Slice 50 of 155; Image size 240x240
FLAIR MRI.
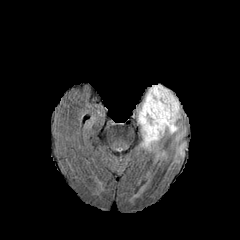
T1-weighted MR image.
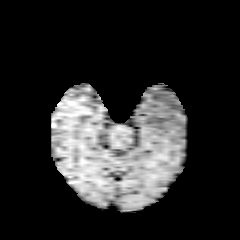
Post-contrast T1-weighted MR.
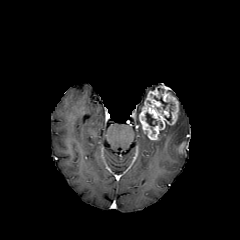
T2-weighted MRI.
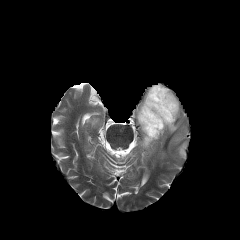
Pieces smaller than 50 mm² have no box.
{"enhancing_tumor": ["rect(178, 142, 186, 153)", "rect(139, 85, 179, 140)"], "necrotic_tumor_core": ["rect(145, 112, 157, 126)", "rect(164, 103, 173, 122)", "rect(154, 96, 168, 108)"], "peritumoral_edema": ["rect(137, 108, 179, 150)"]}